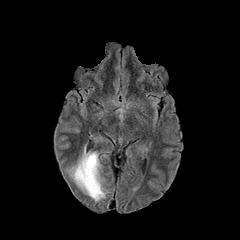
FLAIR MRI.
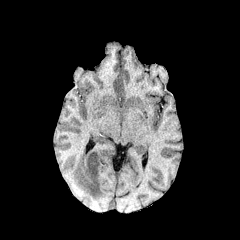
Same slice, T1-weighted MR.
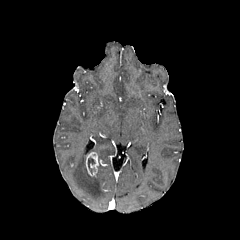
Post-contrast T1-weighted magnetic resonance.
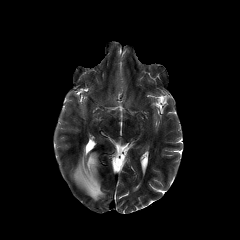
Same slice, T2-weighted MR image.
enhancing_tumor:
  - bbox(86, 152, 98, 176)
necrotic_tumor_core:
  - bbox(88, 157, 95, 172)
peritumoral_edema:
  - bbox(69, 147, 105, 201)